FLAIR MRI.
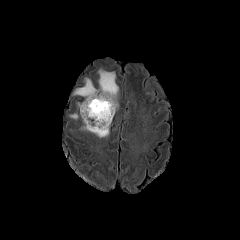
T1-weighted MRI.
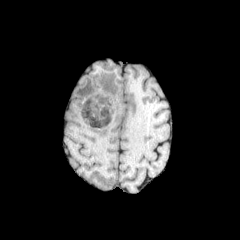
Post-contrast T1-weighted magnetic resonance.
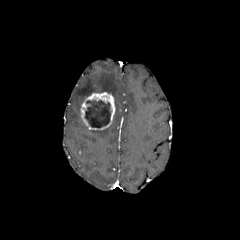
T2-weighted magnetic resonance.
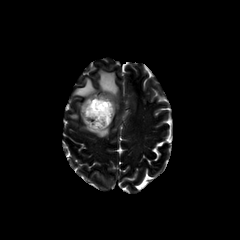
Image size 240x240; Axial slice
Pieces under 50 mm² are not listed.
The necrotic tumor core lies within bbox=[85, 100, 110, 127]. The 2 largest peritumoral edema regions are located at bbox=[81, 124, 109, 137]; bbox=[74, 69, 118, 108]. The enhancing tumor lies within bbox=[80, 92, 115, 130].